FLAIR magnetic resonance.
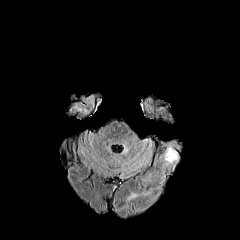
T1-weighted MR image.
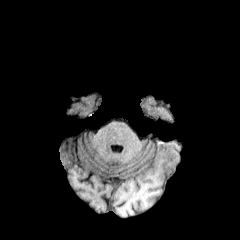
Post-contrast T1-weighted MRI.
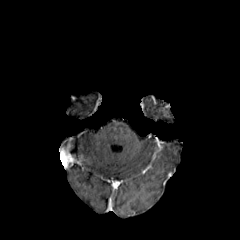
T2-weighted MRI.
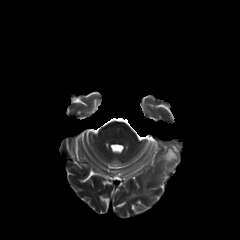
Head; Axial view
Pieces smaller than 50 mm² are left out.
peritumoral_edema:
  - [x1=165, y1=148, x2=177, y2=162]